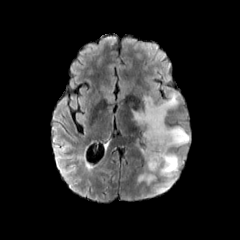
FLAIR magnetic resonance.
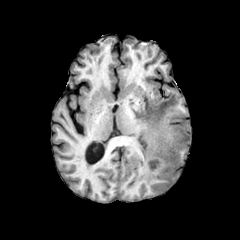
T1-weighted MR image of the same slice.
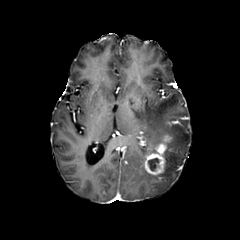
Same slice, post-contrast T1-weighted magnetic resonance.
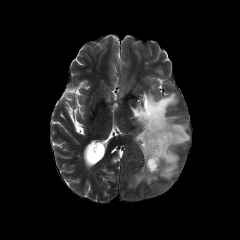
T2-weighted MR image.
Head.
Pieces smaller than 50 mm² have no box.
The necrotic tumor core appears at x1=148 y1=158 x2=159 y2=170. 3 peritumoral edema regions appear at x1=132 y1=93 x2=190 y2=193, x1=137 y1=167 x2=157 y2=184, x1=136 y1=138 x2=147 y2=161. The largest enhancing tumor region is at x1=144 y1=134 x2=173 y2=176.